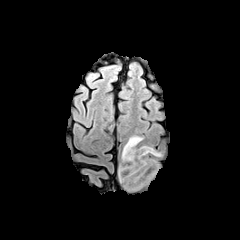
FLAIR MR.
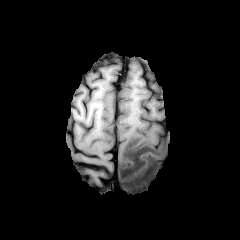
T1-weighted magnetic resonance.
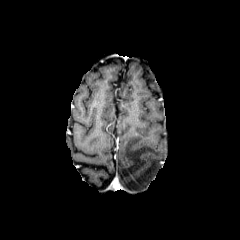
Post-contrast T1-weighted MRI.
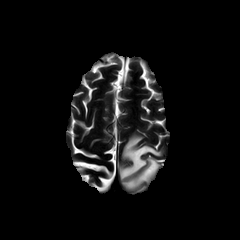
Same slice, T2-weighted magnetic resonance.
Brain.
Findings:
* peritumoral edema: region(119, 135, 161, 190)